Axial view. Brain.
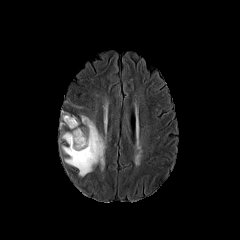
FLAIR MRI.
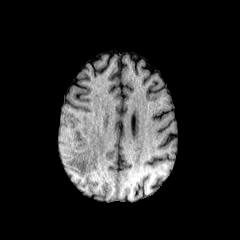
Same slice, T1-weighted MRI.
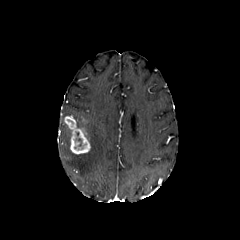
Post-contrast T1-weighted MRI.
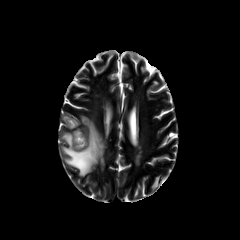
T2-weighted MR of the same slice.
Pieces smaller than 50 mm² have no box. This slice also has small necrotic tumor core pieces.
• enhancing tumor: left=64, top=116, right=90, bottom=154
• peritumoral edema: left=61, top=115, right=106, bottom=176